Brain; Image covers 240 mm x 240 mm; Slice index 70
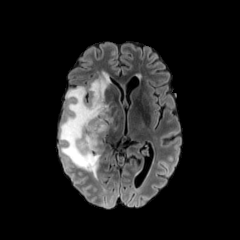
FLAIR magnetic resonance.
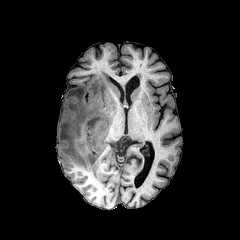
Same slice, T1-weighted magnetic resonance.
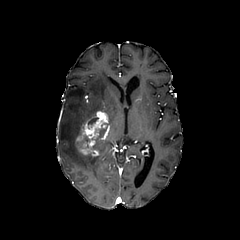
Post-contrast T1-weighted MR of the same slice.
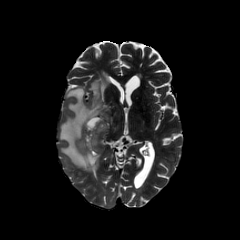
T2-weighted MR image of the same slice.
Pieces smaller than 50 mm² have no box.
necrotic tumor core: bounding box region(84, 123, 108, 149); region(88, 118, 98, 130)
enhancing tumor: bounding box region(75, 111, 111, 156)
peritumoral edema: bounding box region(59, 73, 116, 179)